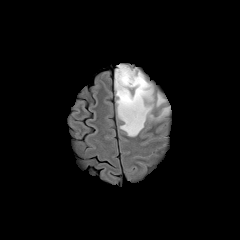
FLAIR MR.
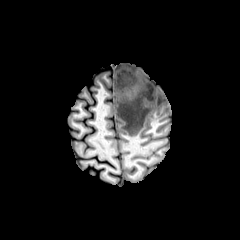
T1-weighted MR image of the same slice.
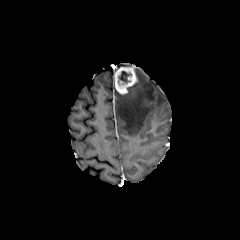
Post-contrast T1-weighted MR image.
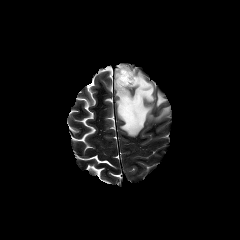
T2-weighted MR image.
Brain. Axial plane.
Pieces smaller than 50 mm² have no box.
The enhancing tumor appears at {"x1": 115, "y1": 66, "x2": 137, "y2": 94}. The necrotic tumor core is bounded by {"x1": 118, "y1": 71, "x2": 131, "y2": 85}. The largest peritumoral edema region appears at {"x1": 115, "y1": 69, "x2": 170, "y2": 136}.